Slice 79/155; 240x240 px; Head
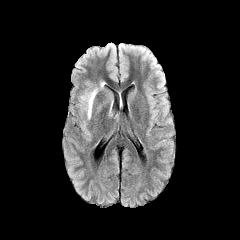
FLAIR magnetic resonance.
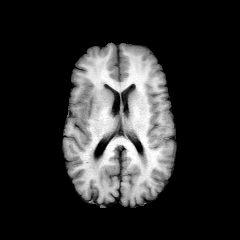
T1-weighted MRI.
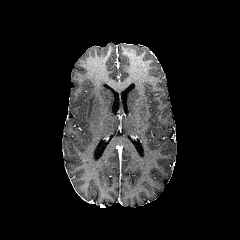
Post-contrast T1-weighted MR image.
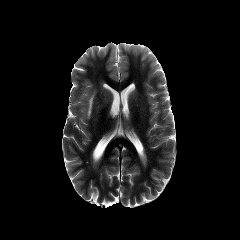
T2-weighted magnetic resonance.
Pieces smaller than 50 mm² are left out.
peritumoral_edema:
  - [x1=80, y1=88, x2=97, y2=119]